FLAIR MR image.
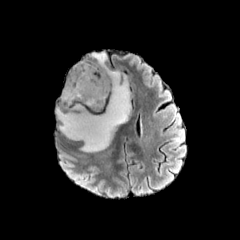
T1-weighted magnetic resonance.
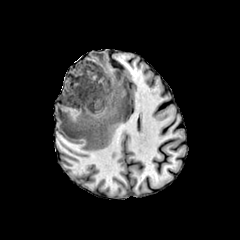
Post-contrast T1-weighted magnetic resonance.
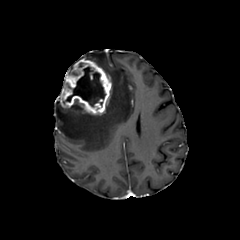
T2-weighted MR.
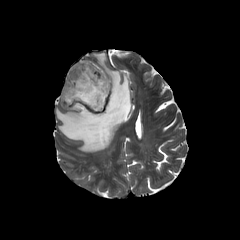
Axial plane, Brain
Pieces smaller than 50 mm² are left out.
necrotic tumor core at 66:67:105:106
peritumoral edema at 56:52:131:152
enhancing tumor at 59:59:111:114